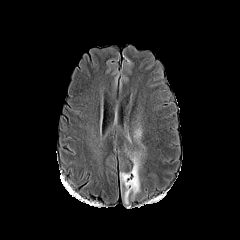
FLAIR magnetic resonance.
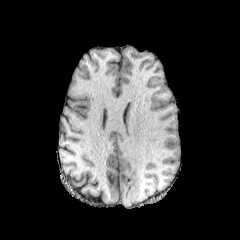
T1-weighted MR image of the same slice.
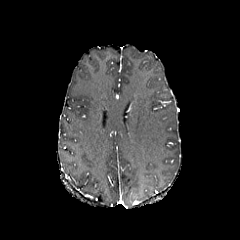
Post-contrast T1-weighted MRI.
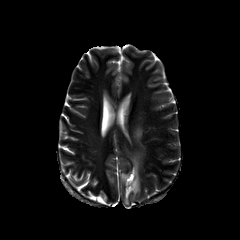
T2-weighted MR image of the same slice.
Brain
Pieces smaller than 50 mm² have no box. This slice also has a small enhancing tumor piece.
Annotated regions:
• peritumoral edema: left=121, top=155, right=139, bottom=203